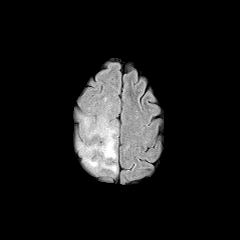
FLAIR MR image.
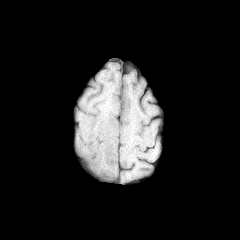
T1-weighted MR image.
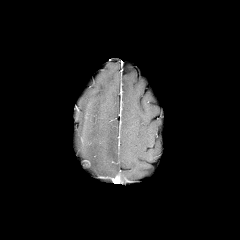
Post-contrast T1-weighted MRI.
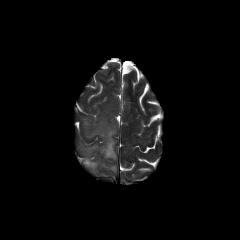
T2-weighted MRI of the same slice.
Head, 240x240
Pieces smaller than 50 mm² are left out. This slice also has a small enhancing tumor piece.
peritumoral_edema:
  - bbox(79, 115, 117, 173)